FLAIR MRI.
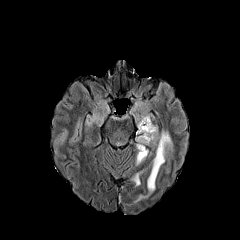
T1-weighted MR.
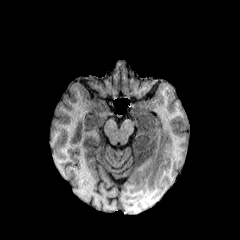
Post-contrast T1-weighted MR.
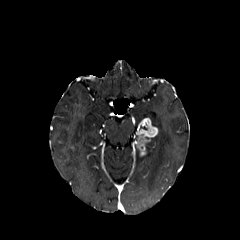
T2-weighted magnetic resonance.
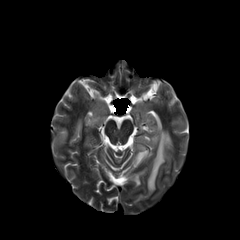
Axial view, Image size 240x240
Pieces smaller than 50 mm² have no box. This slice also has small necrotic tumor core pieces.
enhancing tumor — [135,117,157,156]
peritumoral edema — [137,113,150,123], [135,130,172,202], [132,172,142,186], [136,150,146,164]